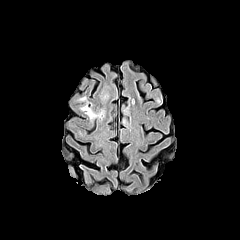
FLAIR MRI.
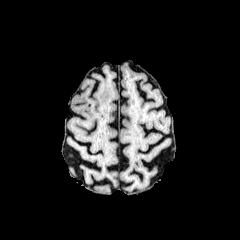
T1-weighted MR of the same slice.
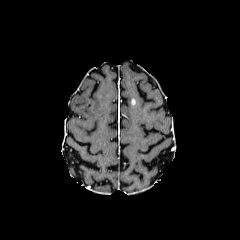
Post-contrast T1-weighted magnetic resonance.
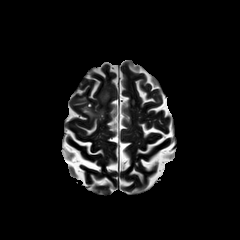
Same slice, T2-weighted MRI.
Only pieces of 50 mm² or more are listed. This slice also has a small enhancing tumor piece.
The largest peritumoral edema region is bounded by region(79, 96, 104, 119).